Axial view. 240x240 px. Head. Image width 240 mm, 1.00 mm slice spacing.
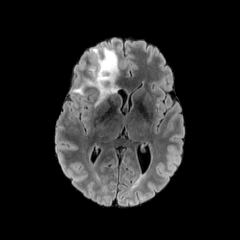
FLAIR MRI.
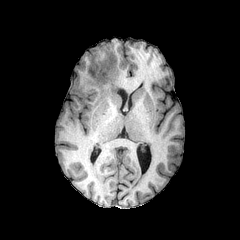
T1-weighted MRI of the same slice.
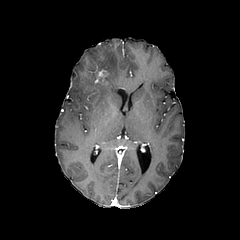
Post-contrast T1-weighted MR of the same slice.
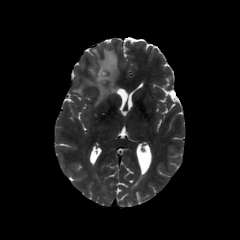
T2-weighted MRI.
peritumoral edema = bbox(73, 48, 118, 105)
enhancing tumor = bbox(95, 69, 107, 82)